FLAIR magnetic resonance.
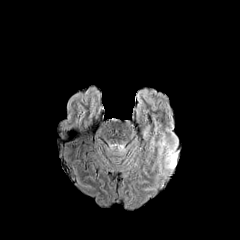
T1-weighted MRI.
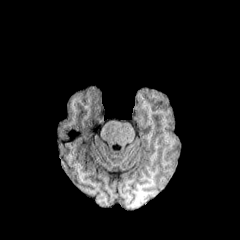
Post-contrast T1-weighted magnetic resonance.
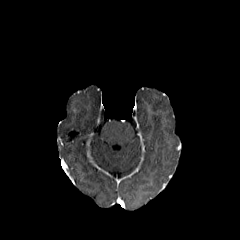
T2-weighted magnetic resonance.
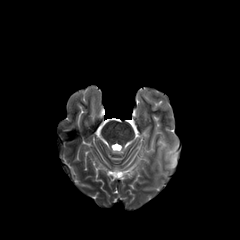
Head | Axial slice
The peritumoral edema is located at (158, 137, 178, 170).